FLAIR MRI.
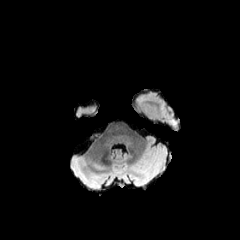
T1-weighted MRI.
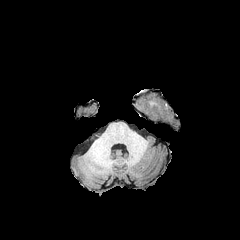
Post-contrast T1-weighted MR image.
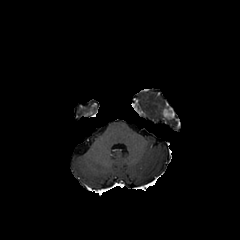
T2-weighted magnetic resonance.
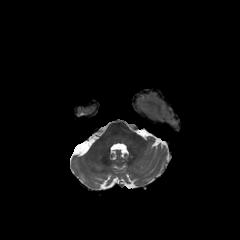
Brain.
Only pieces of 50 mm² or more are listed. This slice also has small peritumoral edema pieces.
enhancing_tumor:
  - box(162, 106, 178, 123)